Brain
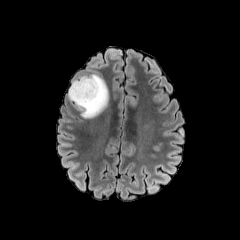
FLAIR MRI.
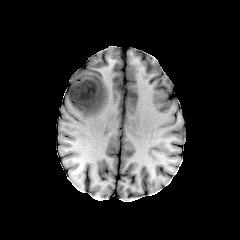
T1-weighted MRI of the same slice.
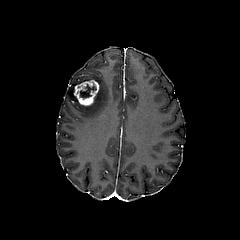
Same slice, post-contrast T1-weighted magnetic resonance.
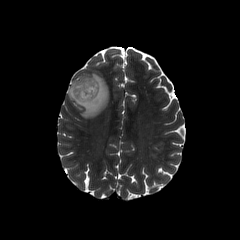
T2-weighted magnetic resonance.
The peritumoral edema is bounded by [67, 73, 109, 118]. The enhancing tumor lies within [74, 80, 99, 105]. The necrotic tumor core is bounded by [80, 83, 96, 97].